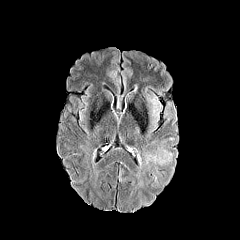
FLAIR MR image.
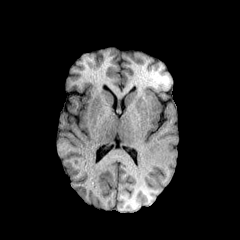
T1-weighted MR.
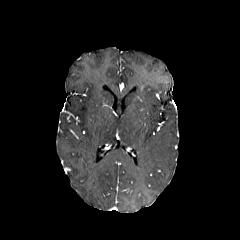
Post-contrast T1-weighted MR image of the same slice.
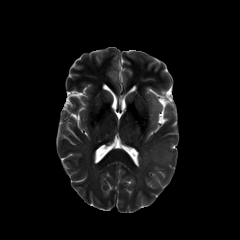
T2-weighted MRI.
240x240 px; Axial plane
peritumoral_edema:
  - [142,135,173,165]